FLAIR MR image.
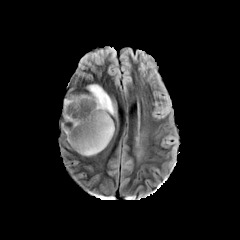
T1-weighted magnetic resonance.
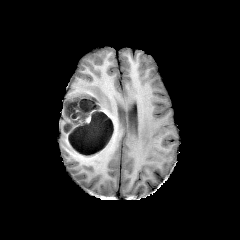
Post-contrast T1-weighted MR.
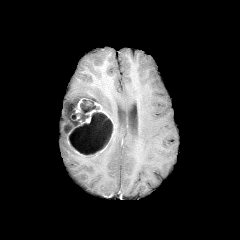
T2-weighted magnetic resonance.
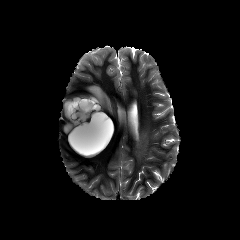
Image size 240x240 | Brain
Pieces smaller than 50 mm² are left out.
enhancing tumor at [x1=61, y1=90, x2=113, y2=144]
necrotic tumor core at [x1=80, y1=99, x2=99, y2=112], [x1=69, y1=112, x2=113, y2=155], [x1=64, y1=93, x2=91, y2=118], [x1=79, y1=113, x2=89, y2=121], [x1=63, y1=121, x2=71, y2=131]
peritumoral edema at [x1=87, y1=84, x2=115, y2=115]